FLAIR MR.
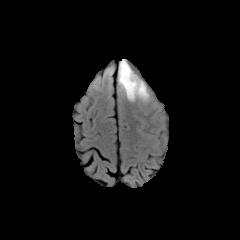
T1-weighted MR image.
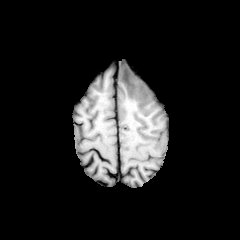
Post-contrast T1-weighted MR.
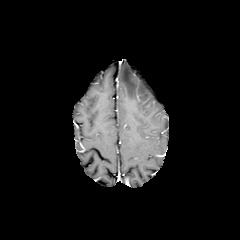
T2-weighted MR.
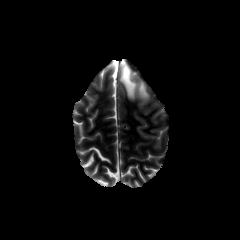
240x240; Brain
The peritumoral edema is at x1=118 y1=60 x2=149 y2=101.